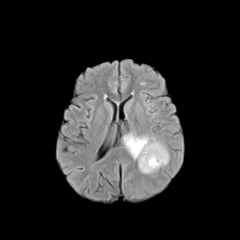
FLAIR MR.
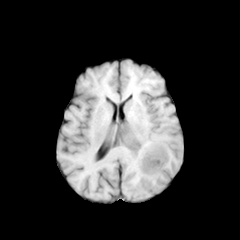
T1-weighted MR image of the same slice.
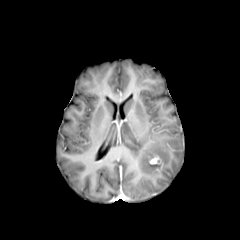
Post-contrast T1-weighted MR.
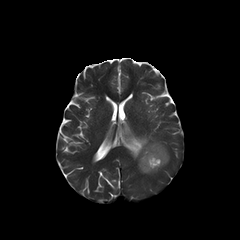
T2-weighted magnetic resonance.
Axial plane | Brain
peritumoral_edema:
  - (left=123, top=133, right=169, bottom=173)
enhancing_tumor:
  - (left=149, top=156, right=162, bottom=165)